Image covers 240 mm x 240 mm. Axial slice.
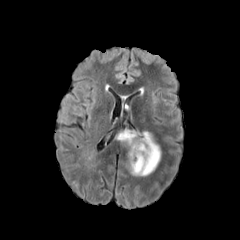
FLAIR MR image.
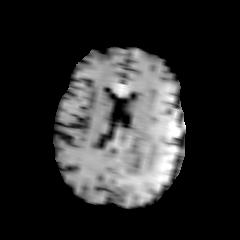
Same slice, T1-weighted magnetic resonance.
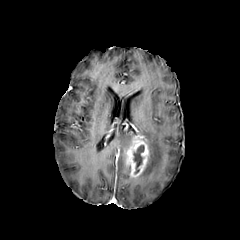
Post-contrast T1-weighted magnetic resonance of the same slice.
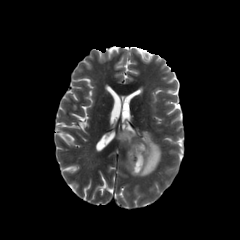
T2-weighted magnetic resonance.
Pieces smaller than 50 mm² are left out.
Findings:
- peritumoral edema: 139:131:161:176, 116:131:132:145
- necrotic tumor core: 134:145:144:173
- enhancing tumor: 126:134:149:177